FLAIR MR.
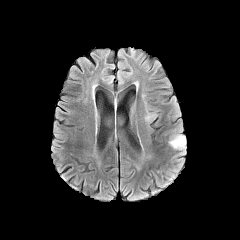
T1-weighted MR image.
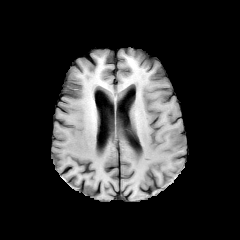
Post-contrast T1-weighted magnetic resonance.
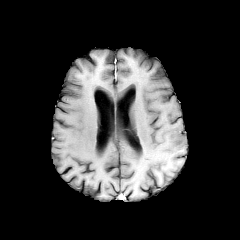
T2-weighted MRI.
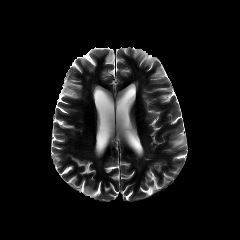
Axial slice
peritumoral edema: {"x1": 169, "y1": 135, "x2": 187, "y2": 148}